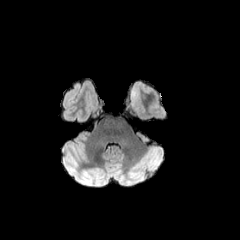
FLAIR MR image.
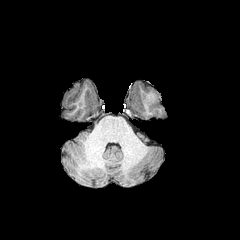
Same slice, T1-weighted MR.
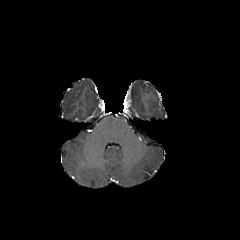
Post-contrast T1-weighted MR image.
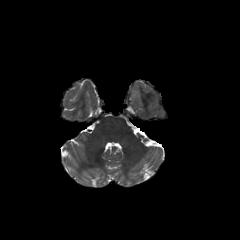
T2-weighted magnetic resonance of the same slice.
Brain; Axial slice; 240x240
The peritumoral edema is at 130:81:153:100.